Slice index 93
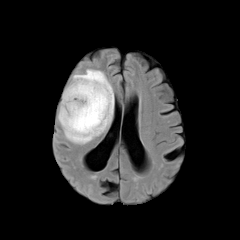
FLAIR MRI.
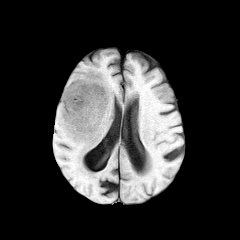
Same slice, T1-weighted magnetic resonance.
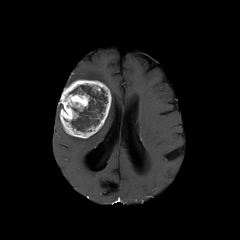
Post-contrast T1-weighted magnetic resonance.
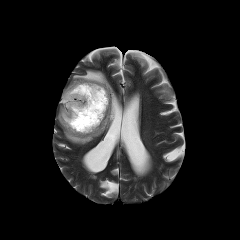
Same slice, T2-weighted MR image.
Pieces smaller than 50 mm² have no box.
enhancing tumor: <bbox>60, 79, 111, 138</bbox> | peritumoral edema: <bbox>58, 69, 114, 144</bbox> | necrotic tumor core: <bbox>70, 85, 107, 131</bbox>